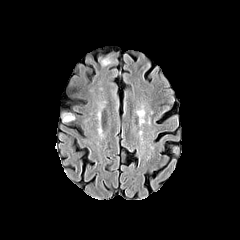
FLAIR MR image.
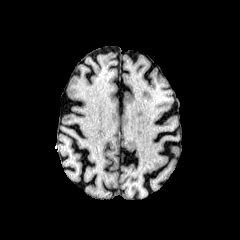
T1-weighted MRI of the same slice.
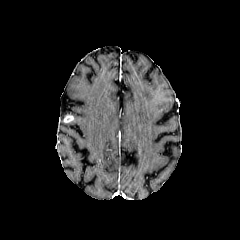
Post-contrast T1-weighted MRI.
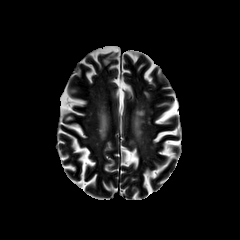
T2-weighted magnetic resonance.
Axial plane, Brain
The enhancing tumor appears at bbox=[62, 113, 74, 122].